FLAIR MR image.
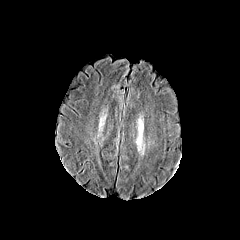
T1-weighted MRI.
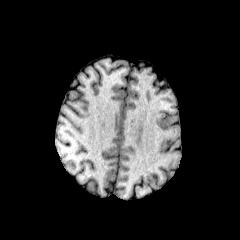
Post-contrast T1-weighted MR image.
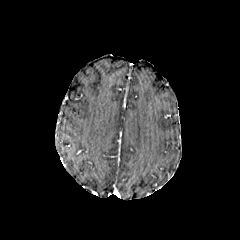
T2-weighted MRI.
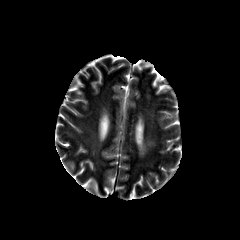
Axial plane | Head
Findings:
• peritumoral edema: [136,124,144,154]